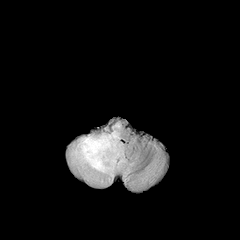
FLAIR MR image.
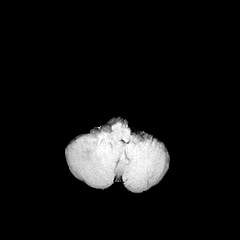
T1-weighted MR.
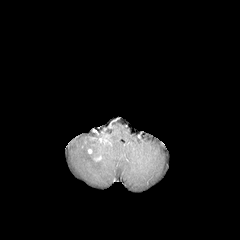
Post-contrast T1-weighted magnetic resonance of the same slice.
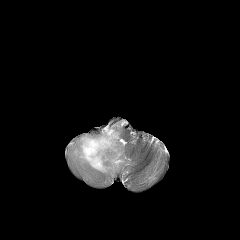
T2-weighted magnetic resonance.
240x240
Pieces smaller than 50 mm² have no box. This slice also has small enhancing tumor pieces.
peritumoral edema: box(68, 122, 131, 183)